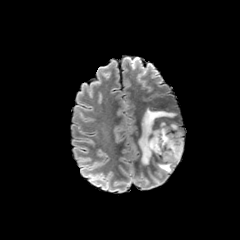
FLAIR MRI.
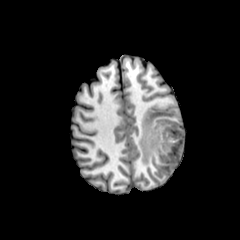
T1-weighted MR image.
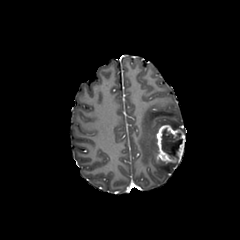
Same slice, post-contrast T1-weighted magnetic resonance.
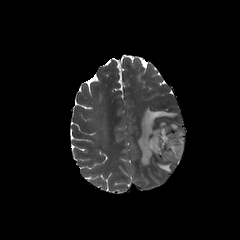
T2-weighted MR.
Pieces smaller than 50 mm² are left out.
{"necrotic_tumor_core": ["(left=161, top=128, right=182, bottom=159)"], "enhancing_tumor": ["(left=156, top=124, right=184, bottom=162)"], "peritumoral_edema": ["(left=138, top=107, right=184, bottom=164)", "(left=157, top=161, right=177, bottom=172)"]}